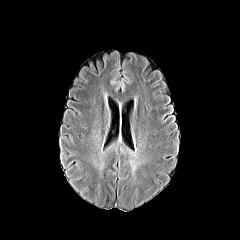
FLAIR magnetic resonance.
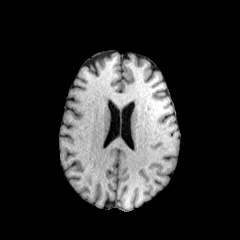
T1-weighted MRI.
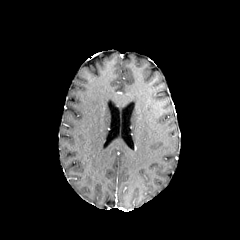
Same slice, post-contrast T1-weighted magnetic resonance.
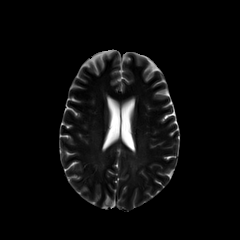
T2-weighted MR image.
Axial slice.
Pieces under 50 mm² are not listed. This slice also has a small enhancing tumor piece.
{
  "peritumoral_edema": [
    "129, 154, 138, 173"
  ]
}